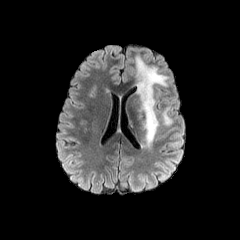
FLAIR magnetic resonance.
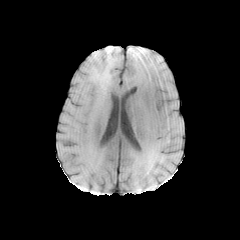
T1-weighted MRI.
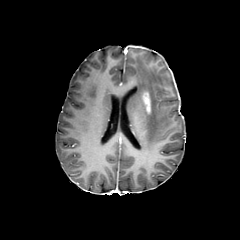
Post-contrast T1-weighted MR.
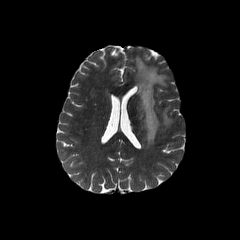
T2-weighted MR image.
Head. 240x240 px.
The peritumoral edema lies within box(135, 55, 172, 149). The enhancing tumor lies within box(141, 90, 151, 113).